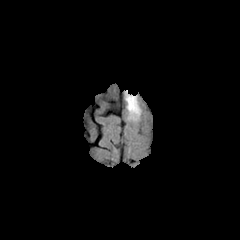
FLAIR MRI.
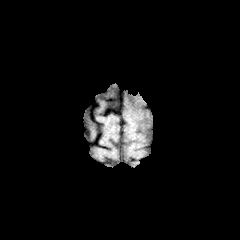
Same slice, T1-weighted magnetic resonance.
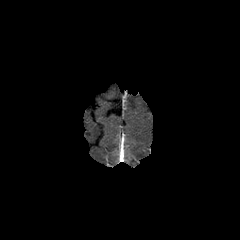
Post-contrast T1-weighted MR image.
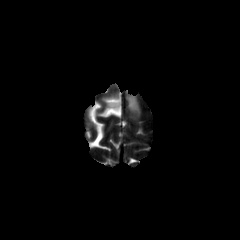
Same slice, T2-weighted magnetic resonance.
240x240 px
Annotated regions:
* peritumoral edema: [x1=126, y1=96, x2=139, y2=115]